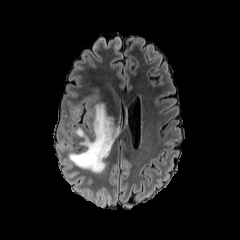
FLAIR magnetic resonance.
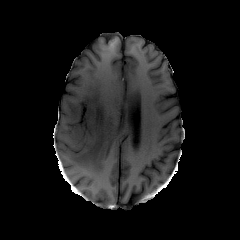
T1-weighted MRI.
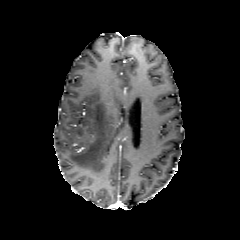
Post-contrast T1-weighted MRI.
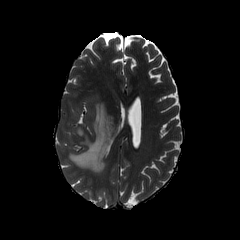
T2-weighted magnetic resonance.
Image size 240x240, Head
2 peritumoral edema regions appear at 68, 103, 122, 173; 72, 107, 78, 116.